FLAIR MR.
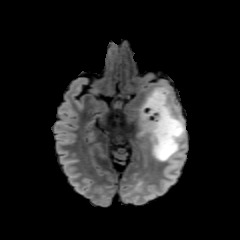
T1-weighted MR.
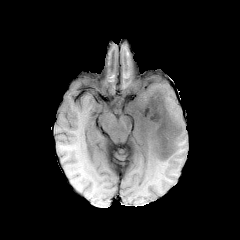
Post-contrast T1-weighted MR.
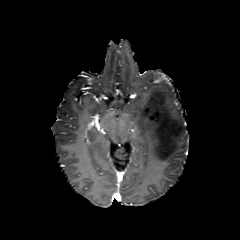
T2-weighted magnetic resonance.
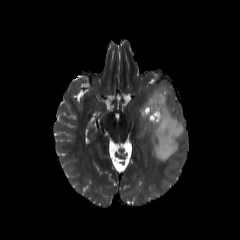
Axial slice
peritumoral_edema:
  - left=138, top=85, right=186, bottom=161